Image covers 240 mm x 240 mm | Axial view | Image size 240x240 | Head
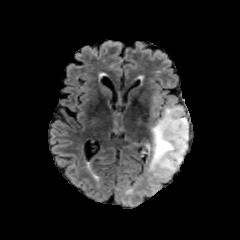
FLAIR MR.
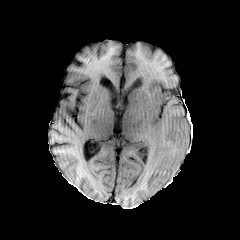
Same slice, T1-weighted MRI.
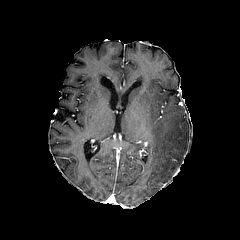
Post-contrast T1-weighted MR.
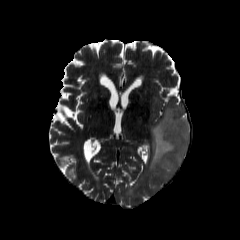
T2-weighted MRI.
The peritumoral edema is at l=147, t=105, r=188, b=178.